FLAIR MRI.
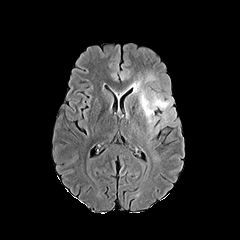
T1-weighted MR.
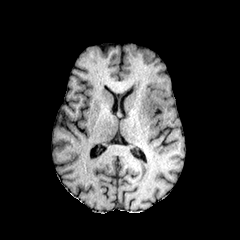
Post-contrast T1-weighted MR image.
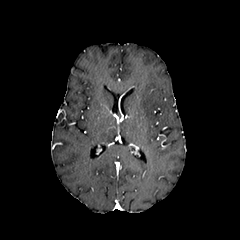
T2-weighted magnetic resonance.
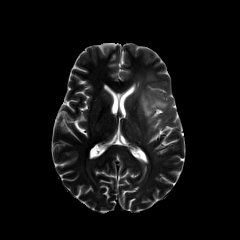
Image size 240x240 | Axial plane
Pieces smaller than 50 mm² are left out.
The largest peritumoral edema region appears at <box>131,80,170,123</box>.